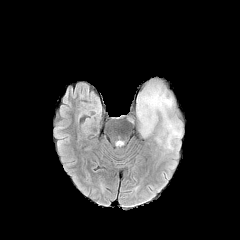
FLAIR MR image.
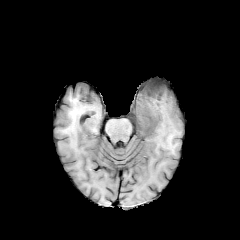
Same slice, T1-weighted MRI.
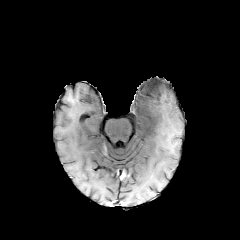
Post-contrast T1-weighted MRI.
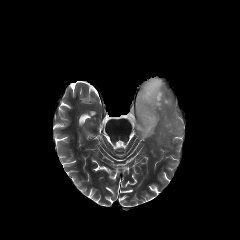
Same slice, T2-weighted MRI.
Image size 240x240; Axial plane
- peritumoral edema: box(133, 79, 182, 144)